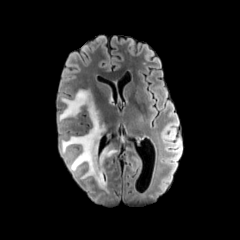
FLAIR MR image.
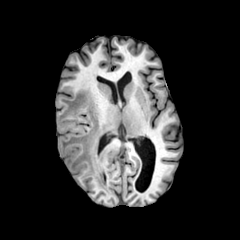
T1-weighted magnetic resonance of the same slice.
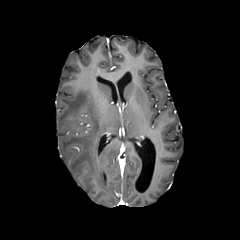
Post-contrast T1-weighted MR image of the same slice.
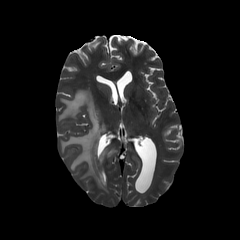
Same slice, T2-weighted MRI.
Brain
<segmentation>
  <peritumoral_edema>(x1=59, y1=89, x2=107, y2=191), (x1=99, y1=146, x2=115, y2=168)</peritumoral_edema>
</segmentation>